Head. Axial slice. 240x240.
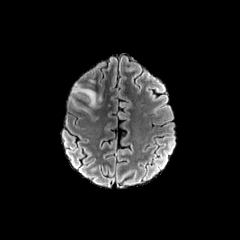
FLAIR MR.
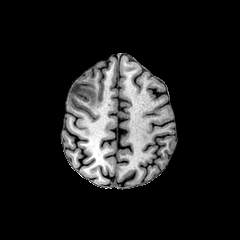
T1-weighted MR image.
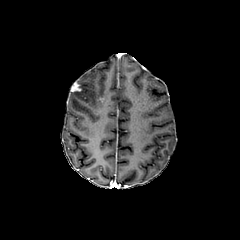
Post-contrast T1-weighted magnetic resonance of the same slice.
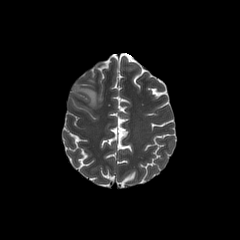
T2-weighted MR image.
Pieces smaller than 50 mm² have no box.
The largest enhancing tumor region is at box(71, 82, 81, 91). The largest peritumoral edema region is located at box(80, 88, 96, 107).